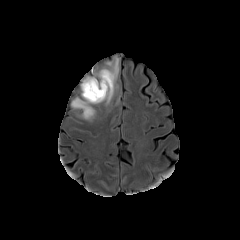
FLAIR MRI.
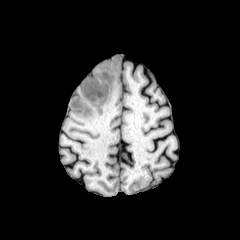
T1-weighted MRI of the same slice.
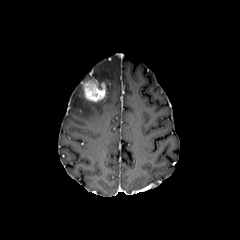
Post-contrast T1-weighted MR.
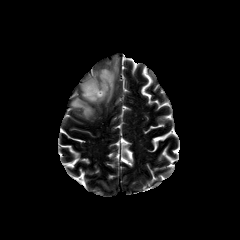
T2-weighted magnetic resonance of the same slice.
peritumoral edema: bounding box bbox=[71, 56, 119, 120]
enhancing tumor: bounding box bbox=[83, 80, 105, 101]